Head | Slice index 92 | Axial plane
FLAIR MR.
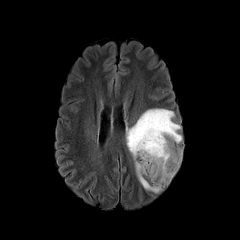
T1-weighted MR image.
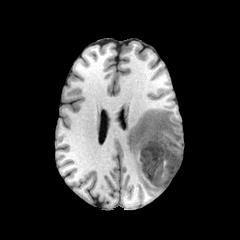
Post-contrast T1-weighted magnetic resonance.
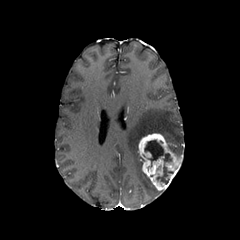
T2-weighted magnetic resonance.
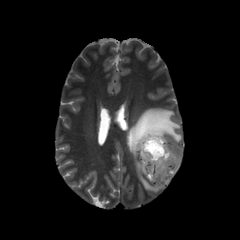
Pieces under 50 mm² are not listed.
necrotic_tumor_core:
  - box=[144, 140, 171, 163]
  - box=[157, 165, 173, 184]
enhancing_tumor:
  - box=[138, 133, 182, 190]
peritumoral_edema:
  - box=[169, 145, 182, 155]
  - box=[126, 108, 181, 192]